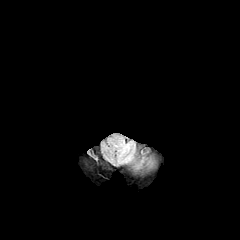
FLAIR MR image.
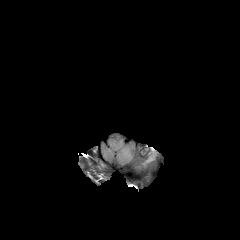
T1-weighted magnetic resonance.
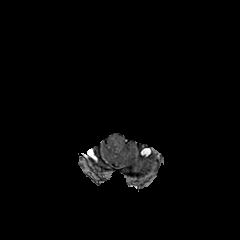
Same slice, post-contrast T1-weighted magnetic resonance.
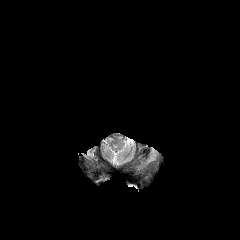
T2-weighted MRI of the same slice.
Axial view
peritumoral edema: <box>118,142,134,162</box>